FLAIR MRI.
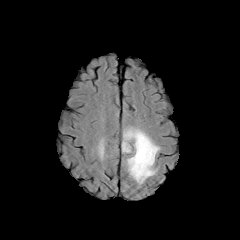
T1-weighted MRI.
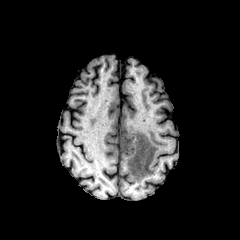
Post-contrast T1-weighted MRI.
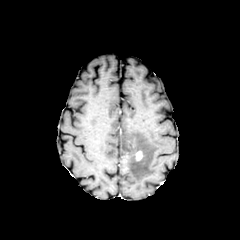
T2-weighted MRI.
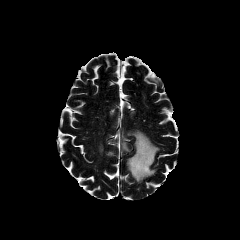
Head | 240x240
peritumoral edema at 122,128,159,183; 98,141,104,157
enhancing tumor at 136,151,142,160